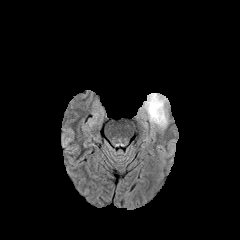
FLAIR MR.
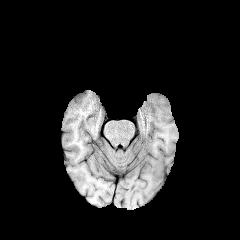
T1-weighted magnetic resonance.
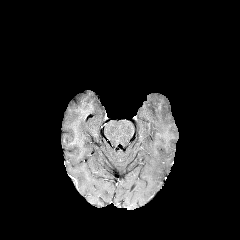
Post-contrast T1-weighted MR image.
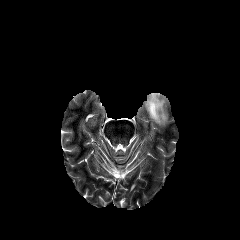
T2-weighted MRI.
Brain | Image size 240x240
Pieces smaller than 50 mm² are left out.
{"peritumoral_edema": ["box=[140, 93, 168, 129]"]}